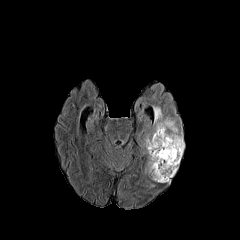
FLAIR magnetic resonance.
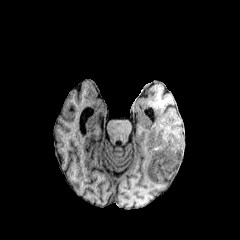
T1-weighted magnetic resonance.
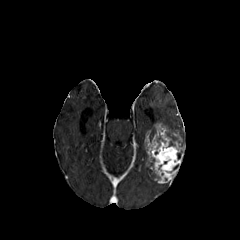
Post-contrast T1-weighted MRI of the same slice.
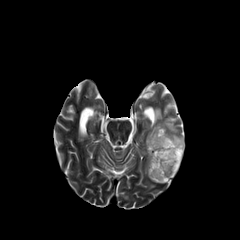
T2-weighted MRI of the same slice.
240x240; Head; Axial plane
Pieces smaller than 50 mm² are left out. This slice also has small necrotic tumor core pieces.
{
  "peritumoral_edema": [
    "[x1=150, y1=126, x2=155, y2=141]",
    "[x1=145, y1=166, x2=155, y2=179]",
    "[x1=153, y1=107, x2=183, y2=142]"
  ],
  "enhancing_tumor": [
    "[x1=144, y1=123, x2=184, y2=183]"
  ]
}